FLAIR MR.
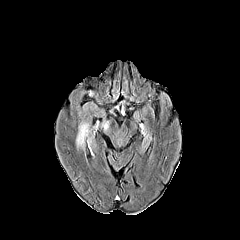
T1-weighted MRI.
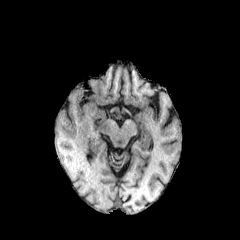
Post-contrast T1-weighted MR.
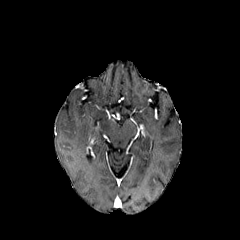
T2-weighted MR.
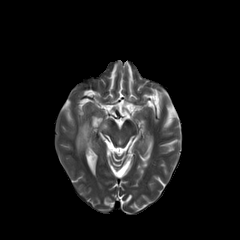
Image size 240x240. Brain.
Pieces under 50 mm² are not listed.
peritumoral_edema:
  - <bbox>76, 122, 91, 148</bbox>